240x240
FLAIR MR.
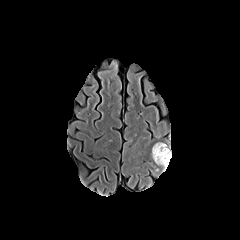
T1-weighted magnetic resonance.
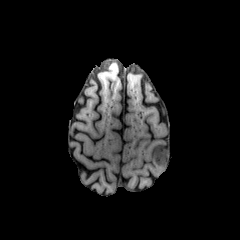
Post-contrast T1-weighted magnetic resonance.
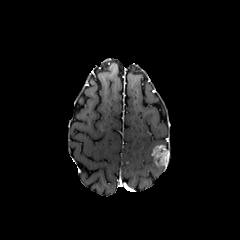
T2-weighted MRI.
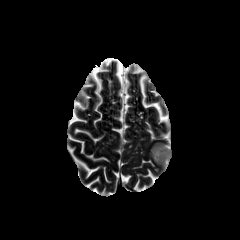
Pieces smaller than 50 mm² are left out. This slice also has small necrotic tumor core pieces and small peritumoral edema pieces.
enhancing tumor — box(152, 145, 169, 167)